FLAIR magnetic resonance.
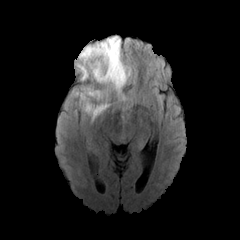
T1-weighted MR image.
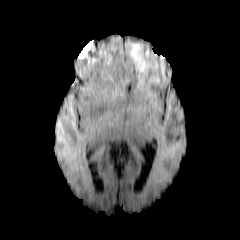
Post-contrast T1-weighted MR image.
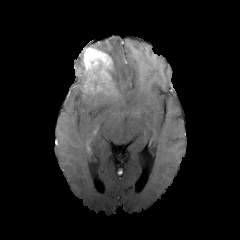
T2-weighted MR image.
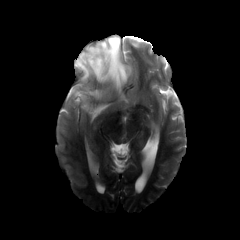
Image size 240x240.
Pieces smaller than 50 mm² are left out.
peritumoral edema — 71,85,108,120; 76,52,84,73; 100,36,130,100
enhancing tumor — 75,42,114,96